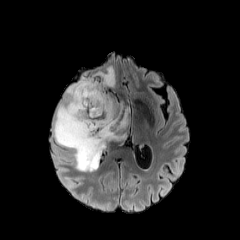
FLAIR MR.
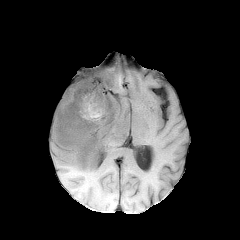
Same slice, T1-weighted MRI.
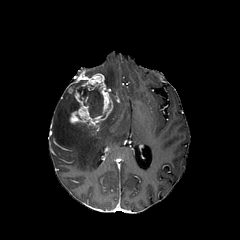
Same slice, post-contrast T1-weighted magnetic resonance.
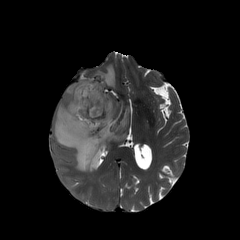
Same slice, T2-weighted MR.
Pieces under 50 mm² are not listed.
<segmentation>
  <enhancing_tumor><bbox>68, 73, 113, 132</bbox></enhancing_tumor>
  <peritumoral_edema><bbox>85, 66, 115, 88</bbox>, <bbox>54, 83, 129, 171</bbox></peritumoral_edema>
  <necrotic_tumor_core><bbox>76, 80, 106, 118</bbox></necrotic_tumor_core>
</segmentation>